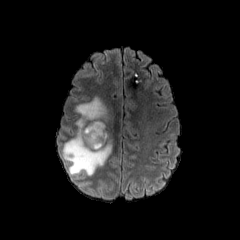
FLAIR magnetic resonance.
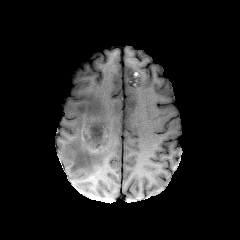
T1-weighted MR image of the same slice.
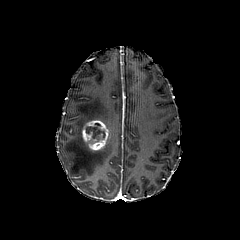
Post-contrast T1-weighted MR of the same slice.
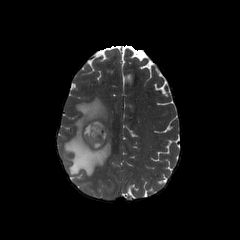
T2-weighted MR.
Brain
necrotic tumor core: [x1=86, y1=123, x2=105, y2=140] | enhancing tumor: [x1=82, y1=120, x2=108, y2=150] | peritumoral edema: [x1=62, y1=96, x2=117, y2=175]